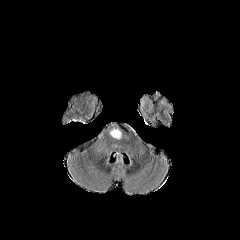
FLAIR MR image.
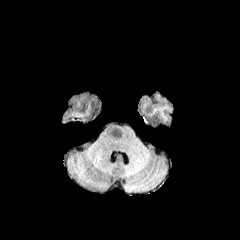
T1-weighted magnetic resonance.
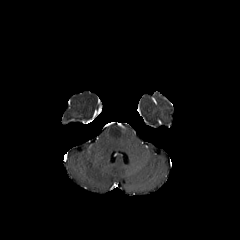
Post-contrast T1-weighted MRI.
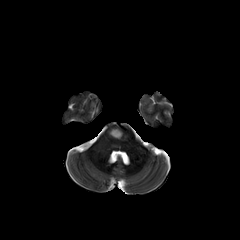
T2-weighted MR image of the same slice.
peritumoral edema: bbox=[109, 128, 121, 139]